240x240, Image covers 240 mm x 240 mm, Brain
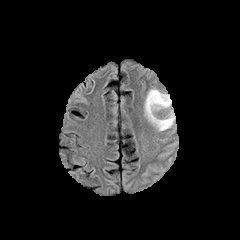
FLAIR magnetic resonance.
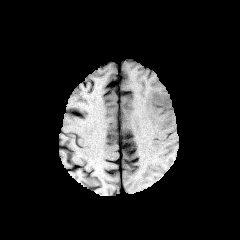
T1-weighted MRI.
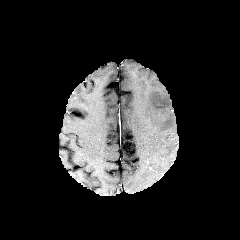
Post-contrast T1-weighted MRI of the same slice.
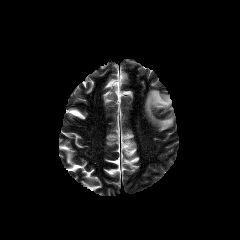
T2-weighted magnetic resonance.
peritumoral edema: bbox(145, 89, 174, 131)